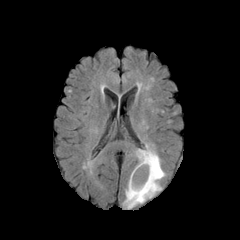
FLAIR MR.
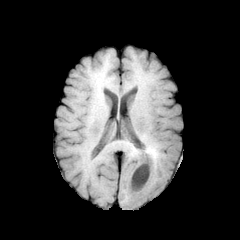
T1-weighted MR.
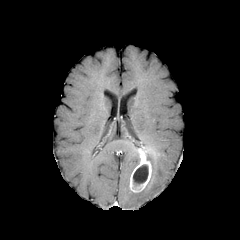
Post-contrast T1-weighted magnetic resonance of the same slice.
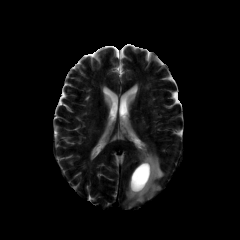
Same slice, T2-weighted MR image.
Head
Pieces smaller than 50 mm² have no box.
peritumoral edema: bounding box <box>123,144,165,208</box>
enhancing tumor: bounding box <box>130,150,152,192</box>
necrotic tumor core: bounding box <box>133,165,148,184</box>